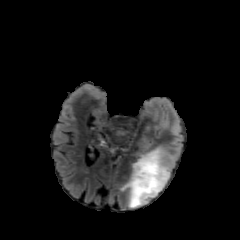
FLAIR MRI.
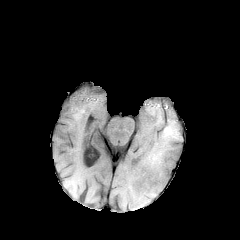
Same slice, T1-weighted magnetic resonance.
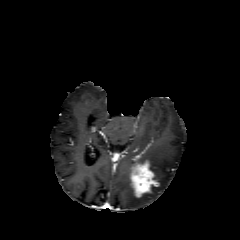
Post-contrast T1-weighted MR of the same slice.
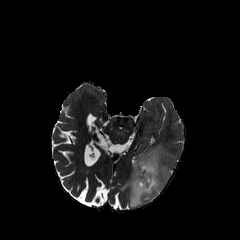
Same slice, T2-weighted magnetic resonance.
Head | Axial plane
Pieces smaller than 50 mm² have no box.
{
  "peritumoral_edema": [
    "left=120, top=146, right=173, bottom=207"
  ],
  "enhancing_tumor": [
    "left=130, top=160, right=159, bottom=197"
  ]
}